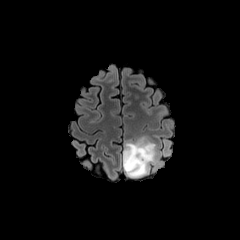
FLAIR MR image.
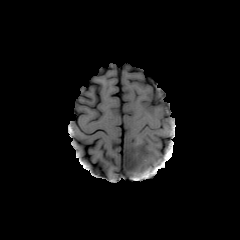
Same slice, T1-weighted MRI.
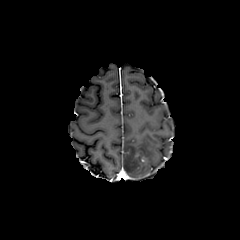
Post-contrast T1-weighted MRI.
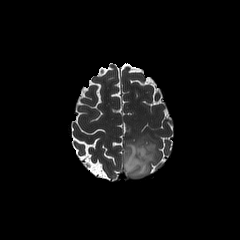
T2-weighted MR.
Image size 240x240; Axial plane
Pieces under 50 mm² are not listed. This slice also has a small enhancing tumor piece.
Findings:
- peritumoral edema: box=[122, 136, 165, 178]